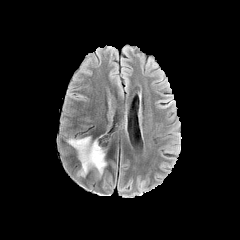
FLAIR MRI.
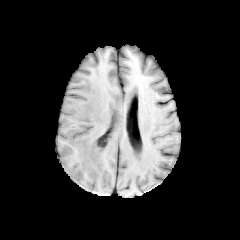
T1-weighted MR image.
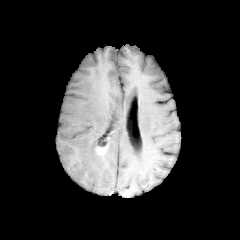
Post-contrast T1-weighted MRI.
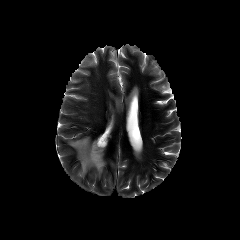
T2-weighted MR image.
peritumoral edema at box=[68, 136, 106, 177]
enhancing tumor at box=[93, 146, 108, 156]